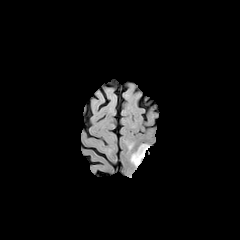
FLAIR MRI.
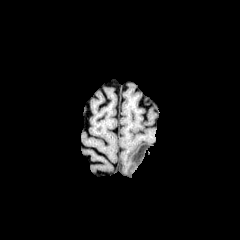
T1-weighted MR image.
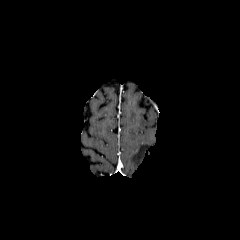
Same slice, post-contrast T1-weighted magnetic resonance.
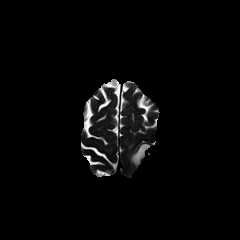
T2-weighted MR image of the same slice.
Brain
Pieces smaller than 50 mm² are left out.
The largest peritumoral edema region is bounded by 131 144 149 165.